Slice 70/155 | Axial plane | Head
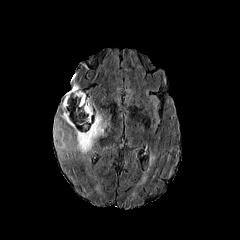
FLAIR magnetic resonance.
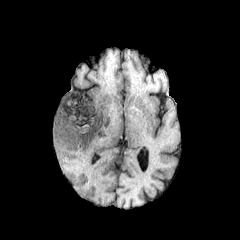
T1-weighted MRI.
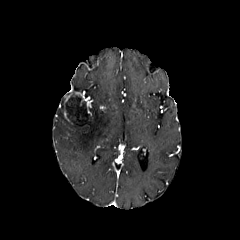
Post-contrast T1-weighted MR of the same slice.
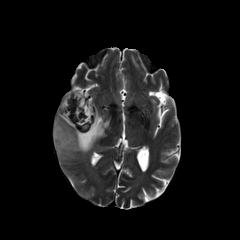
Same slice, T2-weighted MR.
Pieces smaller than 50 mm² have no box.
Segmented structures:
• necrotic tumor core: <bbox>65, 95, 93, 131</bbox>
• peritumoral edema: <bbox>53, 111, 108, 157</bbox>
• enhancing tumor: <bbox>63, 89, 91, 124</bbox>